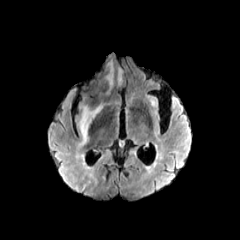
FLAIR magnetic resonance.
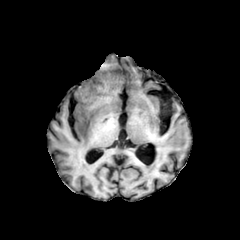
T1-weighted magnetic resonance.
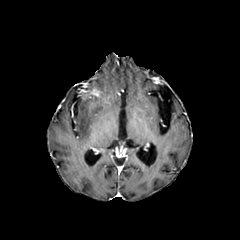
Post-contrast T1-weighted MR of the same slice.
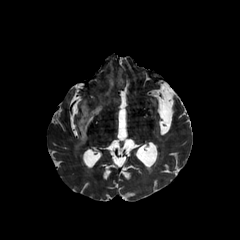
T2-weighted MR of the same slice.
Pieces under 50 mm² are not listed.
enhancing_tumor:
  - region(82, 88, 99, 98)
peritumoral_edema:
  - region(108, 63, 113, 86)
  - region(78, 105, 102, 146)